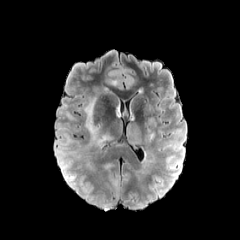
FLAIR magnetic resonance.
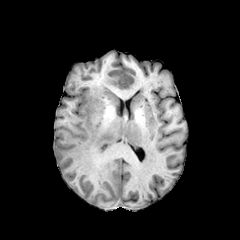
T1-weighted MR.
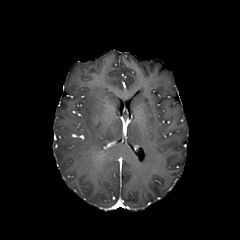
Post-contrast T1-weighted MR of the same slice.
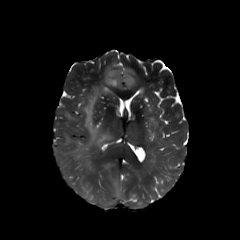
T2-weighted magnetic resonance of the same slice.
Axial plane. Brain.
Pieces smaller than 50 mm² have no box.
peritumoral_edema:
  - left=126, top=123, right=141, bottom=147
  - left=83, top=97, right=111, bottom=146
  - left=57, top=150, right=65, bottom=172